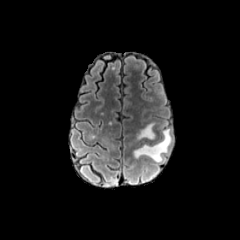
FLAIR MRI.
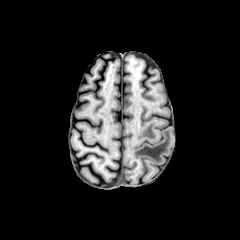
T1-weighted magnetic resonance.
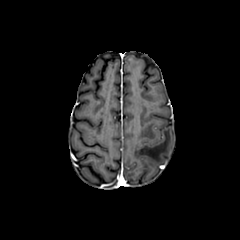
Post-contrast T1-weighted MR image.
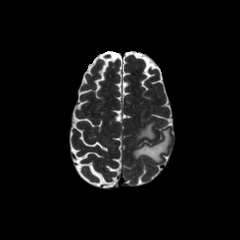
T2-weighted MRI.
Head, Axial slice, Image size 240x240
2 peritumoral edema regions appear at [133, 128, 171, 162], [137, 122, 155, 140].